FLAIR MR.
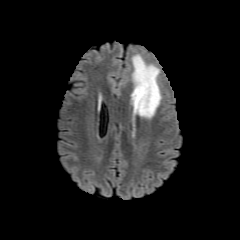
T1-weighted MR image.
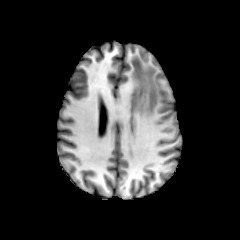
Post-contrast T1-weighted magnetic resonance.
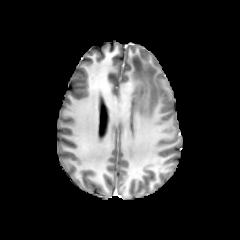
T2-weighted MRI.
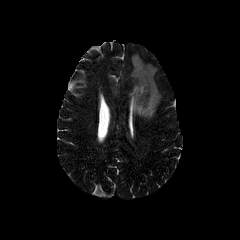
Head. Axial slice.
peritumoral edema: bounding box x1=131 y1=54 x2=161 y2=118